FLAIR MR image.
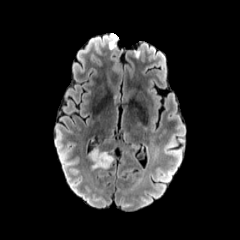
T1-weighted MR image.
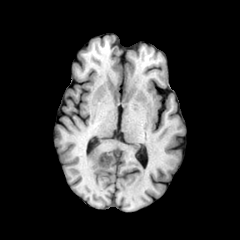
Post-contrast T1-weighted MR.
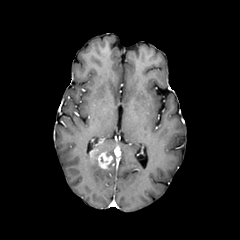
T2-weighted magnetic resonance.
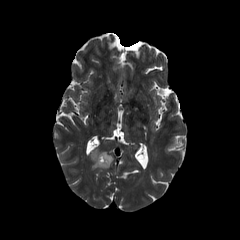
Axial slice.
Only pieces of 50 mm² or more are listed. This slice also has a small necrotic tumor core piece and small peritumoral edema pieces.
{
  "enhancing_tumor": [
    "x1=90, y1=148, x2=113, y2=169"
  ]
}